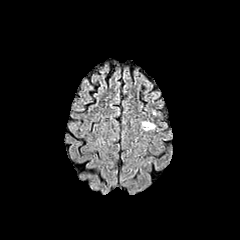
FLAIR MR image.
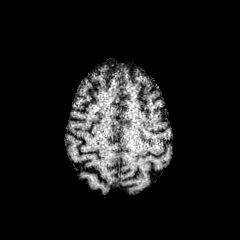
T1-weighted MR image of the same slice.
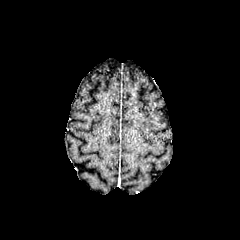
Post-contrast T1-weighted MR.
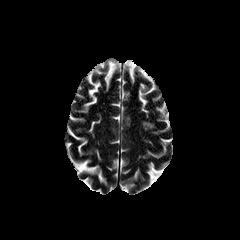
T2-weighted MR.
Brain | Axial plane | 240x240 px
peritumoral_edema:
  - 142:121:155:130